Axial slice, 240x240
FLAIR MR.
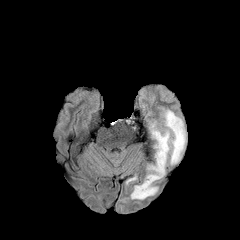
T1-weighted magnetic resonance.
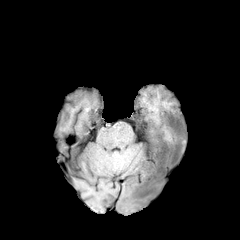
Post-contrast T1-weighted MR image.
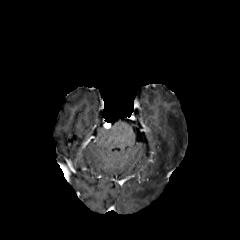
T2-weighted MR.
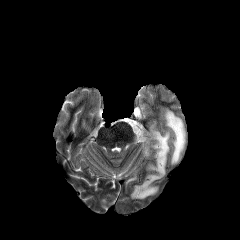
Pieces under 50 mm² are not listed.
The largest peritumoral edema region lies within (130,109,186,199).